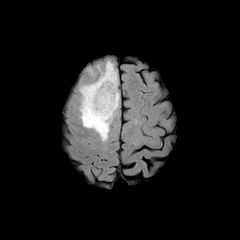
FLAIR MRI.
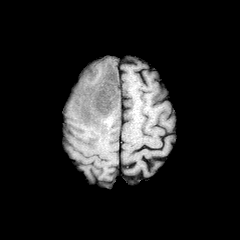
T1-weighted MRI.
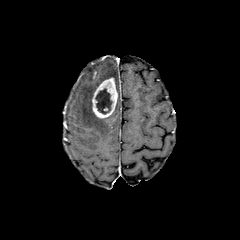
Post-contrast T1-weighted magnetic resonance.
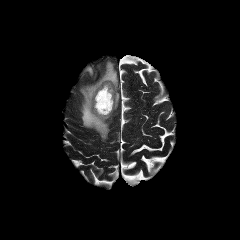
T2-weighted MRI.
Head
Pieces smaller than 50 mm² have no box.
Segmented structures:
- enhancing tumor: box=[92, 78, 117, 118]
- peritumoral edema: box=[80, 61, 117, 140]
- necrotic tumor core: box=[95, 88, 112, 114]